Image size 240x240 | Slice 74/155 | Brain
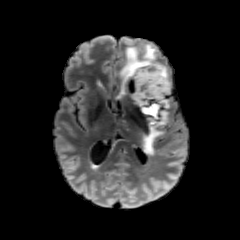
FLAIR magnetic resonance.
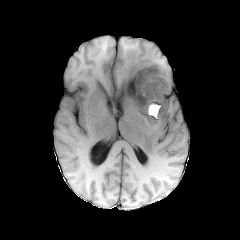
Same slice, T1-weighted magnetic resonance.
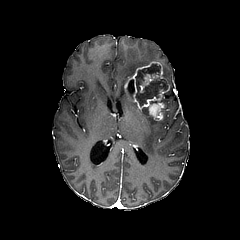
Same slice, post-contrast T1-weighted MR image.
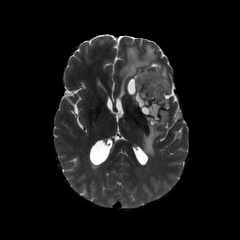
Same slice, T2-weighted MR.
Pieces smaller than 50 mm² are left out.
necrotic tumor core: bounding box {"x1": 135, "y1": 64, "x2": 167, "y2": 106}, {"x1": 149, "y1": 103, "x2": 159, "y2": 116}
enhancing tumor: bounding box {"x1": 123, "y1": 62, "x2": 169, "y2": 122}
peritumoral edema: bounding box {"x1": 162, "y1": 64, "x2": 170, "y2": 88}, {"x1": 115, "y1": 42, "x2": 157, "y2": 99}, {"x1": 142, "y1": 110, "x2": 168, "y2": 154}